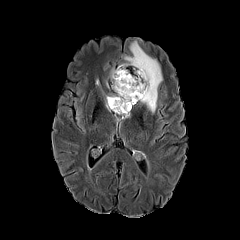
FLAIR magnetic resonance.
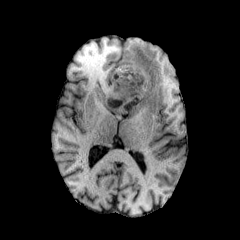
T1-weighted MR image.
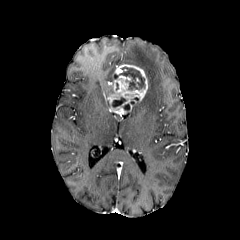
Post-contrast T1-weighted MRI.
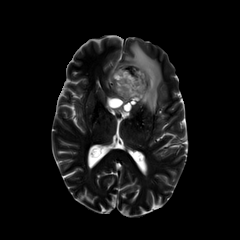
T2-weighted MR image.
Brain.
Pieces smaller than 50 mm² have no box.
enhancing tumor — x1=105 y1=64 x2=148 y2=116
necrotic tumor core — x1=114 y1=67 x2=144 y2=89, x1=112 y1=97 x2=126 y2=107
peritumoral edema — x1=124 y1=41 x2=162 y2=113